FLAIR MR image.
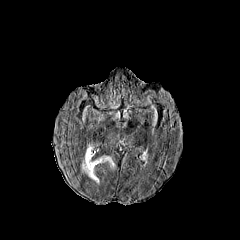
T1-weighted MR image.
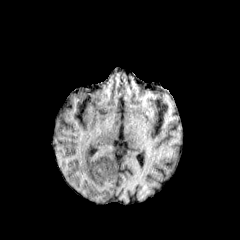
Post-contrast T1-weighted MR image.
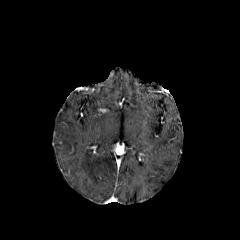
T2-weighted MR.
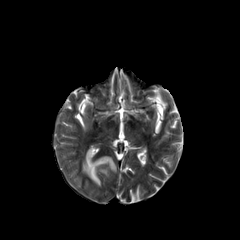
Axial plane; Image size 240x240
Annotated regions:
* peritumoral edema: region(82, 148, 114, 184)